FLAIR magnetic resonance.
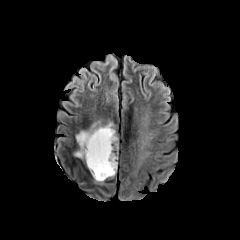
T1-weighted MRI.
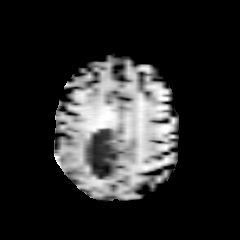
Post-contrast T1-weighted MR.
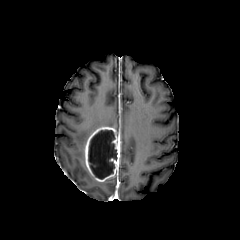
T2-weighted magnetic resonance.
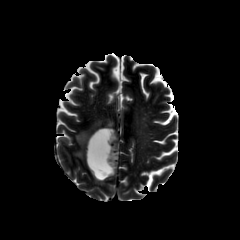
Axial plane
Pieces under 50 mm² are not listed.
- peritumoral edema: (x1=74, y1=121, x2=114, y2=158)
- enhancing tumor: (x1=84, y1=126, x2=120, y2=182)
- necrotic tumor core: (x1=88, y1=130, x2=117, y2=179)